FLAIR magnetic resonance.
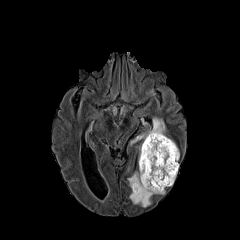
T1-weighted magnetic resonance.
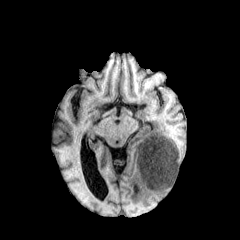
Post-contrast T1-weighted MR image.
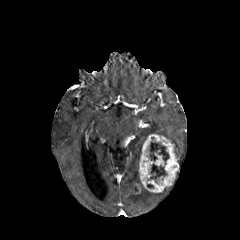
T2-weighted MR.
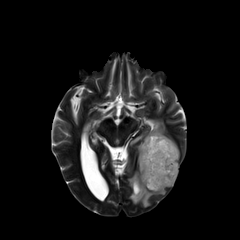
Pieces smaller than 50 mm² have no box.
<segmentation>
  <enhancing_tumor>[x1=139, y1=134, x2=178, y2=192], [x1=133, y1=183, x2=140, y2=193]</enhancing_tumor>
  <peritumoral_edema>[x1=128, y1=171, x2=165, y2=207], [x1=130, y1=117, x2=179, y2=158]</peritumoral_edema>
  <necrotic_tumor_core>[x1=148, y1=163, x2=166, y2=182], [x1=149, y1=141, x2=169, y2=164]</necrotic_tumor_core>
</segmentation>